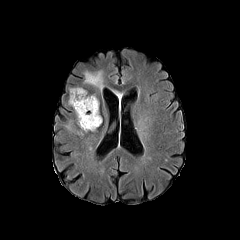
FLAIR MRI.
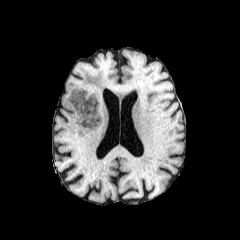
T1-weighted MR image of the same slice.
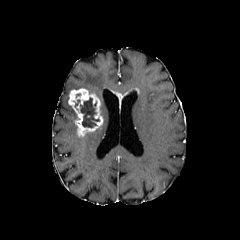
Same slice, post-contrast T1-weighted MR image.
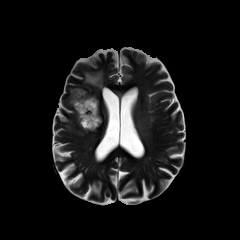
T2-weighted MR image.
240x240 px | Head
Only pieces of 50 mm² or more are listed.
The largest peritumoral edema region is located at <box>84,71,103,90</box>. The 2 largest enhancing tumor regions are located at <box>68,88,102,136</box>, <box>112,89,139,109</box>. The largest necrotic tumor core region is at <box>80,98,99,127</box>.